FLAIR MR.
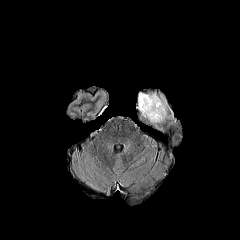
T1-weighted MRI.
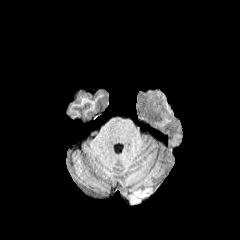
Post-contrast T1-weighted MRI.
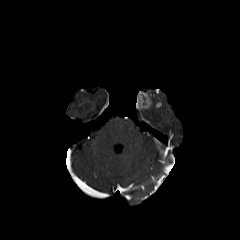
T2-weighted magnetic resonance.
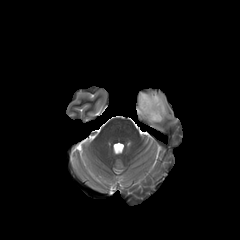
Brain
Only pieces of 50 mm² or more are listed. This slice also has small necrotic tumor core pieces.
peritumoral edema at (left=138, top=93, right=169, bottom=123)
enhancing tumor at (left=138, top=92, right=151, bottom=109)